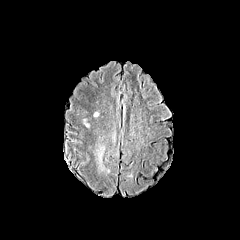
FLAIR magnetic resonance.
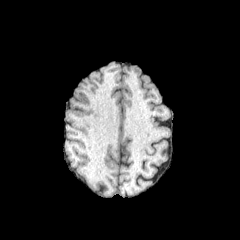
Same slice, T1-weighted MR.
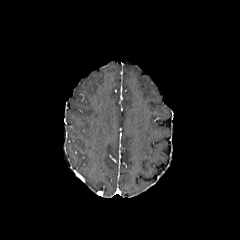
Post-contrast T1-weighted MR image.
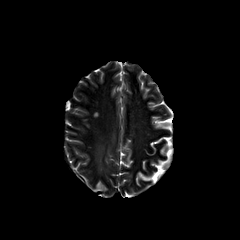
T2-weighted magnetic resonance.
Head, Axial view
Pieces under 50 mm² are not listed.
peritumoral edema: l=98, t=147, r=104, b=164